Brain | Axial plane | Image size 240x240 | Image covers 240 mm x 240 mm
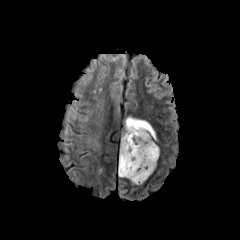
FLAIR MR.
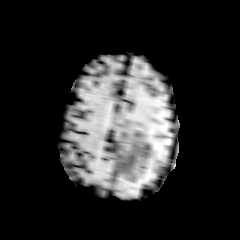
T1-weighted MRI.
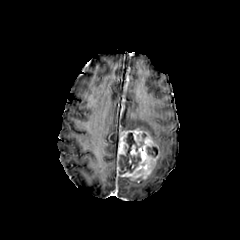
Post-contrast T1-weighted MRI.
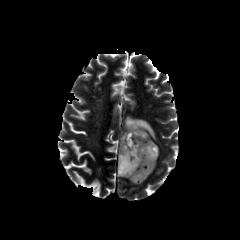
Same slice, T2-weighted MR image.
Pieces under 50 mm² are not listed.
The 2 largest necrotic tumor core regions are located at <bbox>119, 133, 143, 174</bbox>, <bbox>147, 146, 157, 157</bbox>. The largest peritumoral edema region is at <bbox>124, 116, 156, 140</bbox>. The largest enhancing tumor region lies within <bbox>117, 129, 158, 182</bbox>.